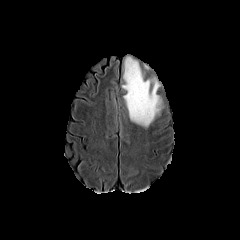
FLAIR MR.
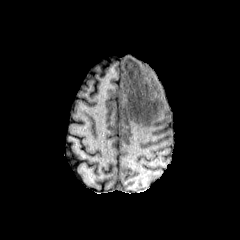
T1-weighted MR image.
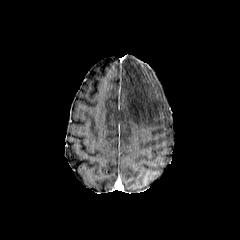
Same slice, post-contrast T1-weighted MRI.
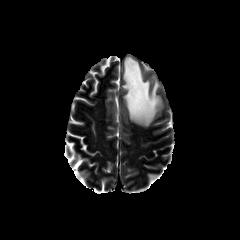
Same slice, T2-weighted MRI.
Axial view, Head
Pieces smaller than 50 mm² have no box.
peritumoral edema: bounding box <box>122,57,161,127</box>